Axial slice. Slice index 97.
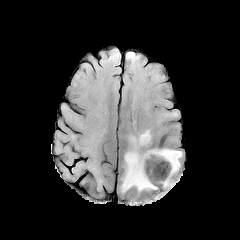
FLAIR magnetic resonance.
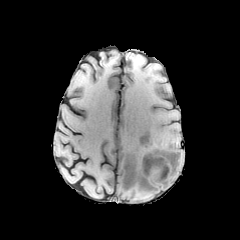
Same slice, T1-weighted MR.
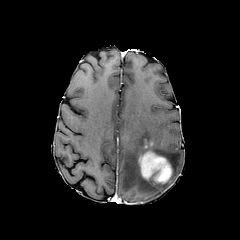
Post-contrast T1-weighted MRI of the same slice.
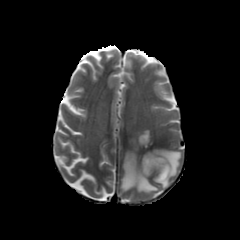
T2-weighted MR image.
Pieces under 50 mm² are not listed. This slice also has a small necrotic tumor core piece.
peritumoral edema — 121, 130, 157, 191; 151, 149, 181, 187
enhancing tumor — 139, 151, 172, 183